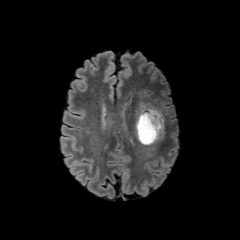
FLAIR magnetic resonance.
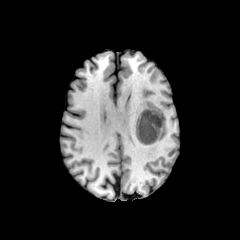
Same slice, T1-weighted MRI.
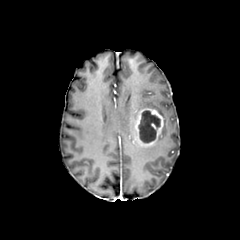
Same slice, post-contrast T1-weighted MR image.
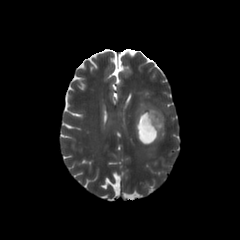
T2-weighted MRI of the same slice.
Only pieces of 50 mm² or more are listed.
The enhancing tumor is at [135, 108, 163, 145]. The largest peritumoral edema region lies within [136, 93, 163, 118]. The necrotic tumor core appears at [139, 110, 160, 143].